FLAIR MR image.
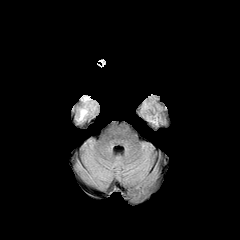
T1-weighted magnetic resonance.
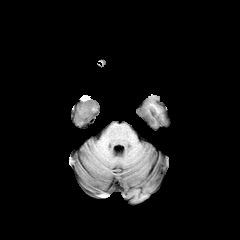
Post-contrast T1-weighted MR.
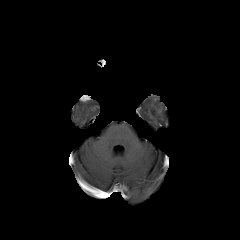
T2-weighted magnetic resonance.
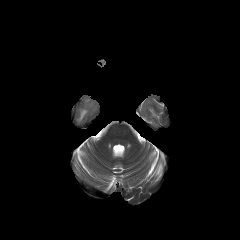
240x240 px
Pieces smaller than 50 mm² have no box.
Findings:
• peritumoral edema: x1=78, y1=106, x2=87, y2=121